FLAIR MR image.
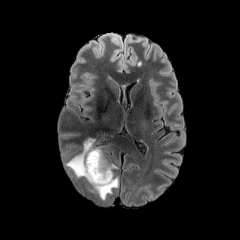
T1-weighted MRI.
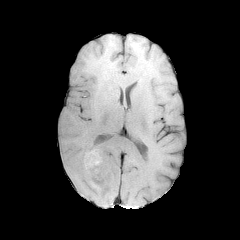
Post-contrast T1-weighted MR image.
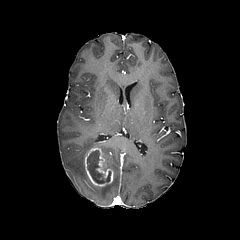
T2-weighted magnetic resonance.
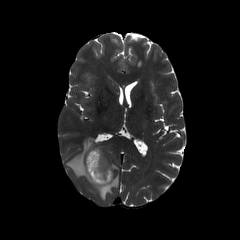
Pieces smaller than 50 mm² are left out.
peritumoral edema = 66 138 118 199
necrotic tumor core = 87 150 110 183
enhancing tumor = 84 147 113 187